240x240 px, Slice index 84
FLAIR MR.
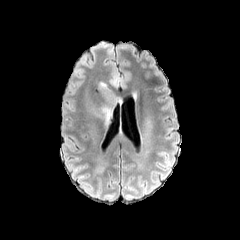
T1-weighted MRI.
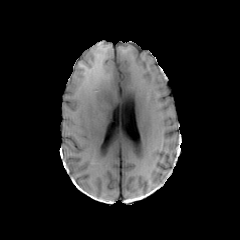
Post-contrast T1-weighted MR image.
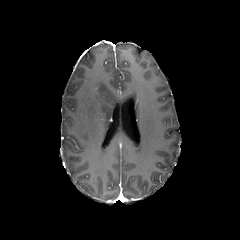
T2-weighted MR image.
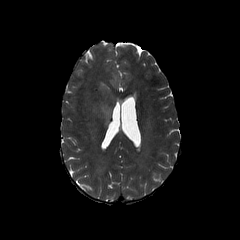
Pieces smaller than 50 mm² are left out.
- peritumoral edema: <box>89,81,118,123</box>